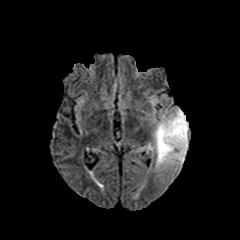
FLAIR magnetic resonance.
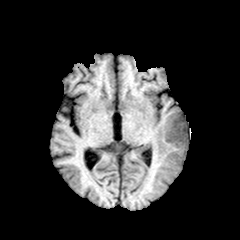
T1-weighted MR of the same slice.
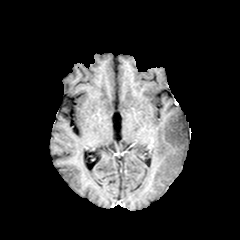
Post-contrast T1-weighted MR image.
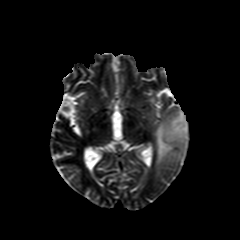
T2-weighted MRI.
Head; Axial view
• peritumoral edema: <box>153,108,188,167</box>